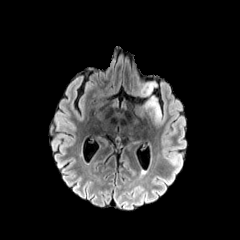
FLAIR MR image.
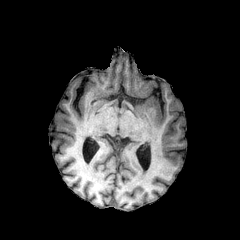
T1-weighted MR image of the same slice.
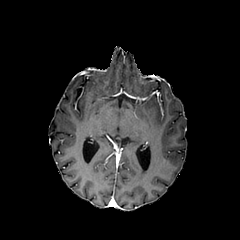
Post-contrast T1-weighted MR image.
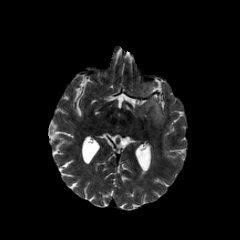
T2-weighted MR.
Brain.
• peritumoral edema: 138 82 162 123